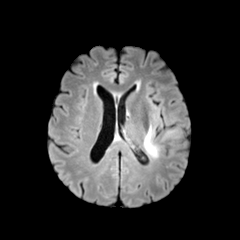
FLAIR magnetic resonance.
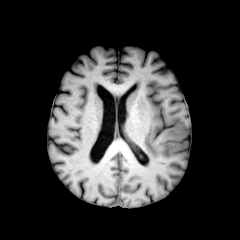
T1-weighted MR.
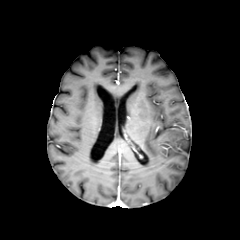
Same slice, post-contrast T1-weighted MR image.
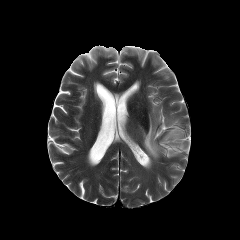
T2-weighted MR.
Head; Axial view
2 peritumoral edema regions appear at region(164, 129, 179, 138); region(144, 125, 159, 158).